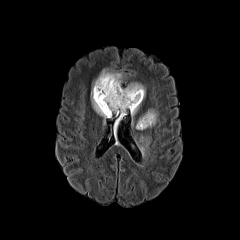
FLAIR MR image.
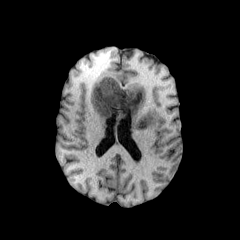
Same slice, T1-weighted MR.
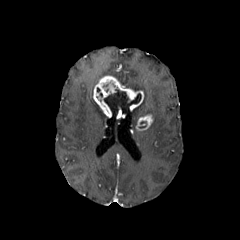
Post-contrast T1-weighted magnetic resonance.
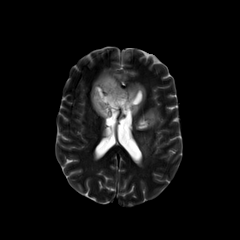
T2-weighted magnetic resonance.
Brain
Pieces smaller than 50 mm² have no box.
• enhancing tumor: region(116, 108, 125, 118); region(136, 114, 153, 130); region(93, 75, 143, 117)
• necrotic tumor core: region(104, 89, 141, 115)
• peritumoral edema: region(139, 136, 150, 154); region(126, 82, 145, 97); region(91, 69, 122, 124); region(143, 109, 158, 127)